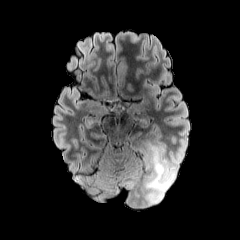
FLAIR magnetic resonance.
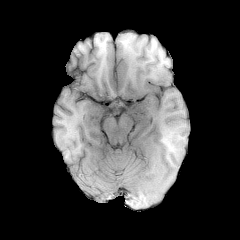
T1-weighted magnetic resonance.
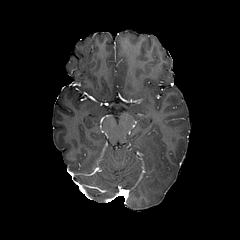
Post-contrast T1-weighted MR.
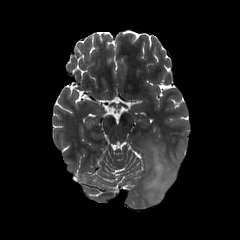
T2-weighted MR image.
Axial view.
<segmentation>
  <peritumoral_edema>[x1=142, y1=141, x2=176, y2=204]</peritumoral_edema>
</segmentation>